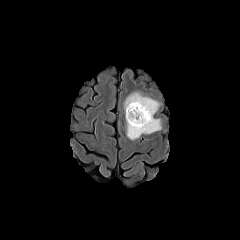
FLAIR MR image.
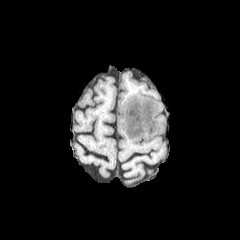
T1-weighted MR image.
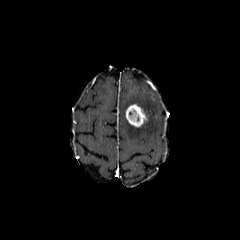
Same slice, post-contrast T1-weighted magnetic resonance.
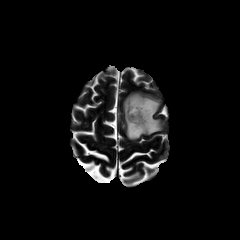
T2-weighted magnetic resonance.
240x240 | Brain | Axial slice
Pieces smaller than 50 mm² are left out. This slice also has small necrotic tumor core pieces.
<segmentation>
  <enhancing_tumor>rect(125, 104, 147, 127)</enhancing_tumor>
  <peritumoral_edema>rect(124, 92, 161, 140)</peritumoral_edema>
</segmentation>